FLAIR MRI.
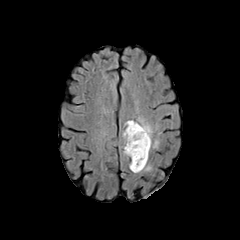
T1-weighted MRI.
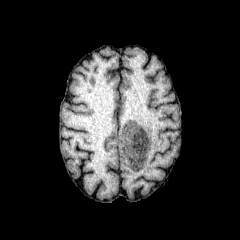
Post-contrast T1-weighted MR image.
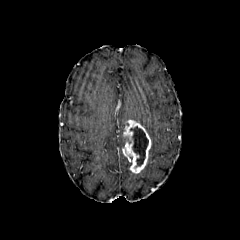
T2-weighted MR.
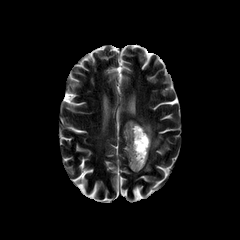
Brain. Axial plane.
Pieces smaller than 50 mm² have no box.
The enhancing tumor lies within 122 120 151 173. The largest necrotic tumor core region lies within 130 126 148 165. The largest peritumoral edema region is bounded by 136 117 159 148.